Axial plane; Slice 76/155; 240x240 px
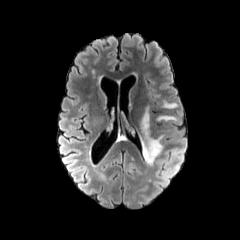
FLAIR MR.
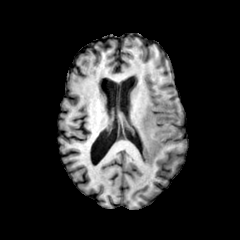
T1-weighted MR of the same slice.
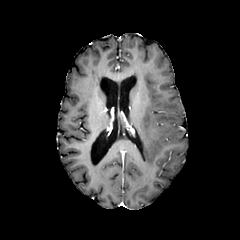
Post-contrast T1-weighted magnetic resonance of the same slice.
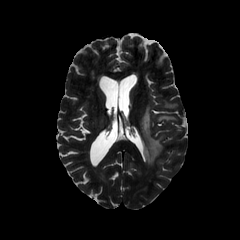
T2-weighted magnetic resonance.
{"peritumoral_edema": ["[x1=162, y1=100, x2=177, y2=108]", "[x1=140, y1=106, x2=163, y2=165]", "[x1=157, y1=115, x2=177, y2=121]"]}